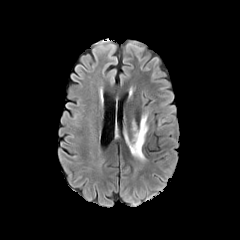
FLAIR MR.
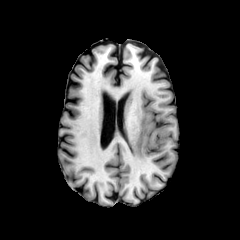
T1-weighted MRI.
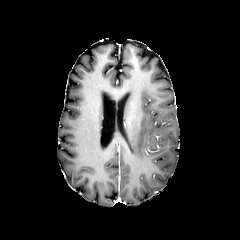
Post-contrast T1-weighted MRI of the same slice.
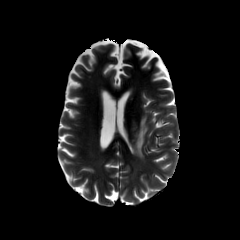
T2-weighted MR image of the same slice.
Head | 240x240 px | Axial plane
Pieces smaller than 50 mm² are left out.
The largest peritumoral edema region is at bbox=[126, 114, 148, 161].